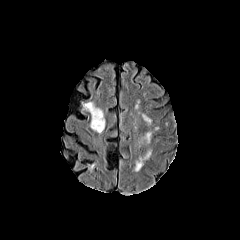
FLAIR MRI.
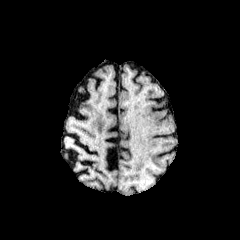
T1-weighted MR image of the same slice.
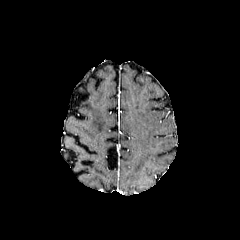
Post-contrast T1-weighted MR.
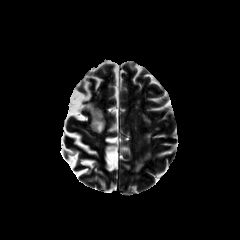
Same slice, T2-weighted magnetic resonance.
Brain. Image size 240x240.
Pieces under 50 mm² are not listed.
Annotated regions:
• peritumoral edema: 135:159:142:171